FLAIR MR image.
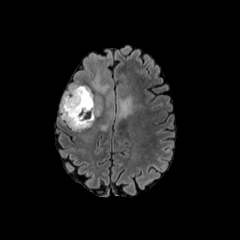
T1-weighted MRI.
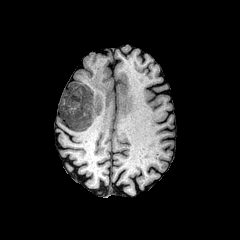
Post-contrast T1-weighted MR image.
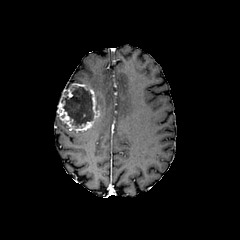
T2-weighted MR image.
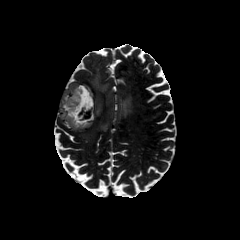
Brain; Image size 240x240
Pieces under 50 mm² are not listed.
necrotic tumor core: (61, 87, 93, 127)
peritumoral edema: (91, 57, 114, 130), (116, 95, 133, 118), (96, 95, 102, 111)
enhancing tumor: (57, 83, 100, 131)